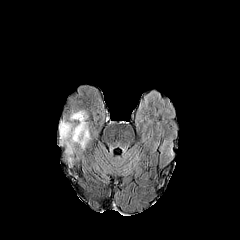
FLAIR magnetic resonance.
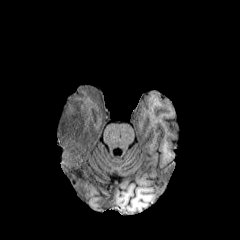
Same slice, T1-weighted MR.
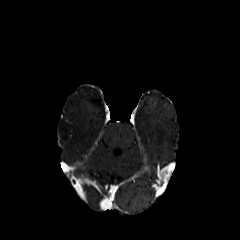
Post-contrast T1-weighted MR.
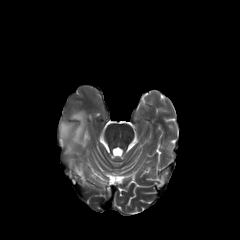
T2-weighted MR image.
Axial slice | Image size 240x240
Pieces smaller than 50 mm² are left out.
The 2 largest peritumoral edema regions appear at left=66, top=111, right=88, bottom=154; left=59, top=120, right=72, bottom=144.